Image size 240x240
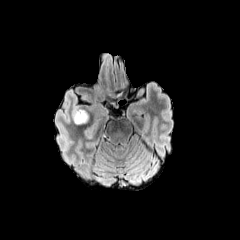
FLAIR MR.
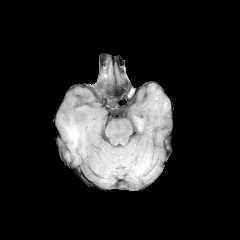
Same slice, T1-weighted MR image.
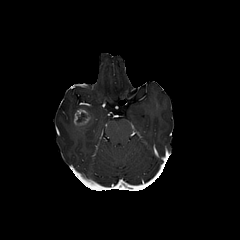
Post-contrast T1-weighted MR image of the same slice.
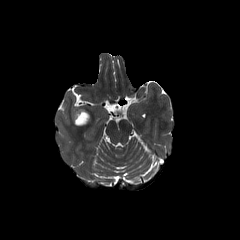
T2-weighted magnetic resonance.
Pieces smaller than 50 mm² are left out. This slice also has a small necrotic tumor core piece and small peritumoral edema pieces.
- enhancing tumor: box=[74, 109, 90, 125]